Image width 240 mm, 1.00 mm slice spacing; Slice 85 of 155; Axial plane
FLAIR MR.
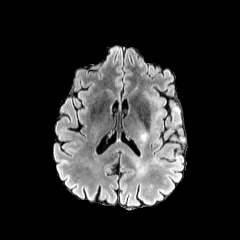
T1-weighted MR image.
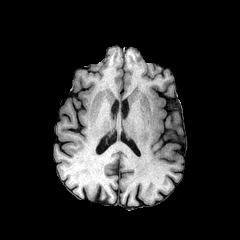
Post-contrast T1-weighted magnetic resonance.
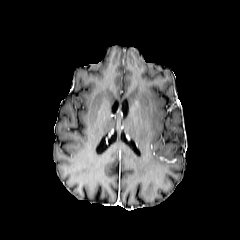
T2-weighted magnetic resonance.
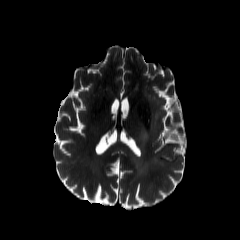
<segmentation>
  <peritumoral_edema>box(140, 93, 186, 156)</peritumoral_edema>
</segmentation>